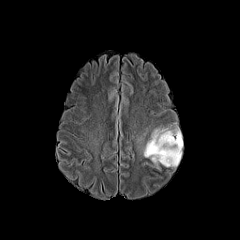
FLAIR MR image.
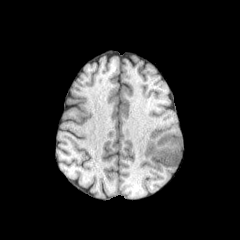
T1-weighted MR image.
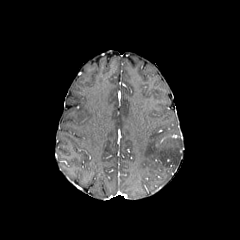
Post-contrast T1-weighted MRI of the same slice.
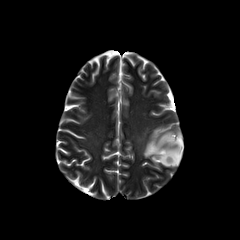
T2-weighted magnetic resonance of the same slice.
Brain. Axial plane. Image size 240x240.
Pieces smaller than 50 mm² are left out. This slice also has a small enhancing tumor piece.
{"peritumoral_edema": ["bbox=[143, 128, 182, 168]"]}